FLAIR MR.
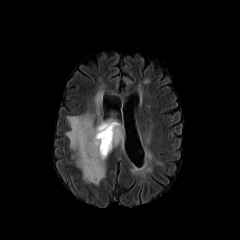
T1-weighted magnetic resonance.
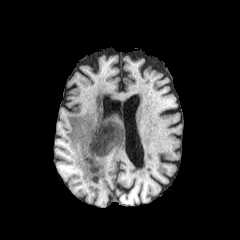
Post-contrast T1-weighted MRI.
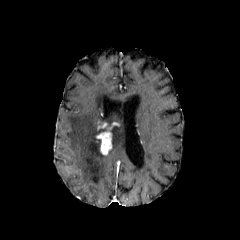
T2-weighted magnetic resonance.
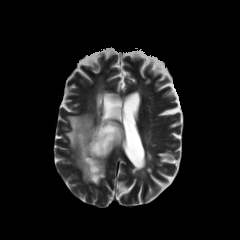
240x240. Head.
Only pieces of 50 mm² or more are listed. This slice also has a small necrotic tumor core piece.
enhancing tumor — 96,122,118,154
peritumoral edema — 95,92,103,115; 66,114,123,184